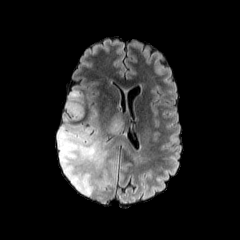
FLAIR MR.
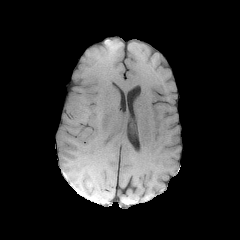
T1-weighted MR image of the same slice.
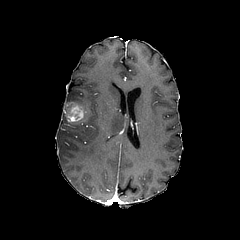
Post-contrast T1-weighted MR of the same slice.
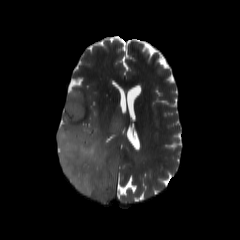
T2-weighted MRI of the same slice.
240x240; Axial view; Head
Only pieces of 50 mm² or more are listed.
The 2 largest peritumoral edema regions are located at x1=110 y1=113 x2=123 y2=134, x1=57 y1=90 x2=116 y2=195. The enhancing tumor lies within x1=65 y1=102 x2=84 y2=122.